Image width 240 mm
FLAIR MRI.
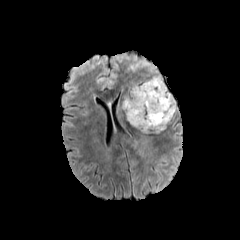
T1-weighted magnetic resonance.
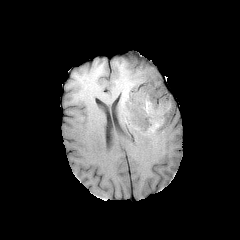
Post-contrast T1-weighted magnetic resonance.
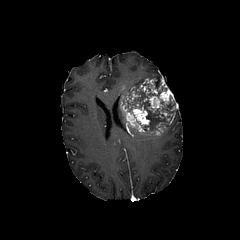
T2-weighted MR image.
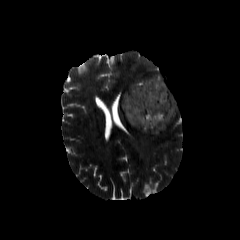
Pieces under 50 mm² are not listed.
{
  "enhancing_tumor": [
    "[120,77,171,134]"
  ],
  "peritumoral_edema": [
    "[142,62,153,72]"
  ],
  "necrotic_tumor_core": [
    "[125,83,168,129]",
    "[161,95,176,119]",
    "[155,77,161,88]"
  ]
}